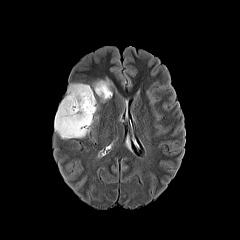
FLAIR MRI.
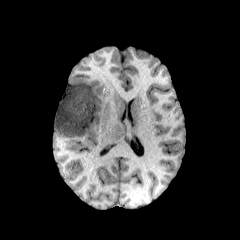
T1-weighted magnetic resonance.
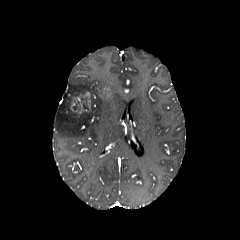
Same slice, post-contrast T1-weighted magnetic resonance.
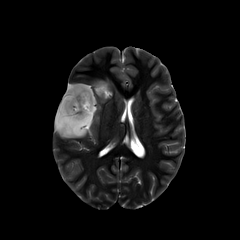
T2-weighted MR image.
Axial view
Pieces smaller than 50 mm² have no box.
{"necrotic_tumor_core": ["region(71, 95, 93, 132)"], "peritumoral_edema": ["region(92, 99, 98, 116)", "region(93, 79, 112, 102)", "region(54, 83, 93, 138)"], "enhancing_tumor": ["region(70, 91, 90, 114)"]}